FLAIR MRI.
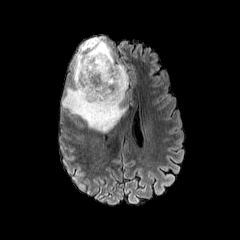
T1-weighted magnetic resonance.
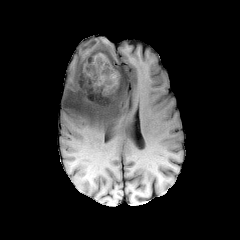
Post-contrast T1-weighted MR.
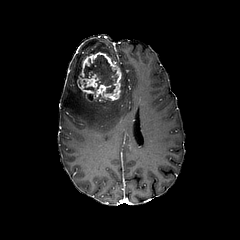
T2-weighted MR image.
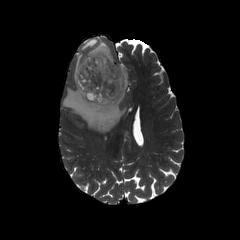
240x240. Axial slice.
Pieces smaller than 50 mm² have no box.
The largest necrotic tumor core region appears at x1=84, y1=55, x2=118, y2=92. The largest enhancing tumor region is bounded by x1=77, y1=52, x2=121, y2=102. The peritumoral edema appears at x1=61, y1=37, x2=128, y2=132.